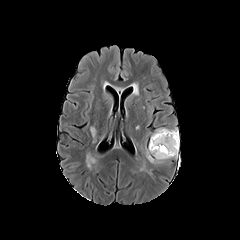
FLAIR MRI.
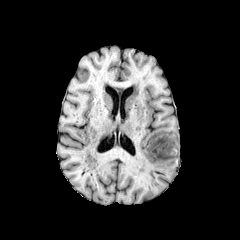
T1-weighted MR.
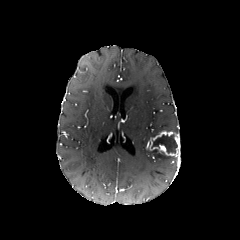
Post-contrast T1-weighted magnetic resonance.
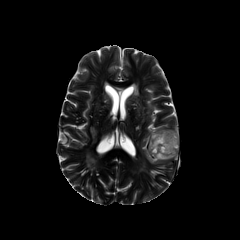
T2-weighted magnetic resonance.
Axial view. 240x240. Brain.
The enhancing tumor is located at region(148, 130, 179, 158). 2 necrotic tumor core regions are bounded by region(151, 149, 164, 155); region(152, 134, 177, 152). 2 peritumoral edema regions appear at region(151, 127, 178, 137); region(145, 149, 173, 163).